FLAIR MRI.
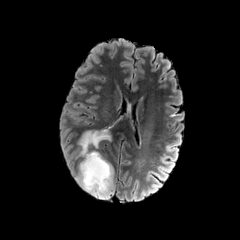
T1-weighted MR image.
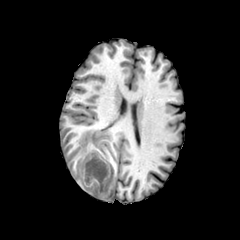
Post-contrast T1-weighted MR image.
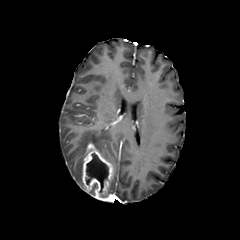
T2-weighted MRI.
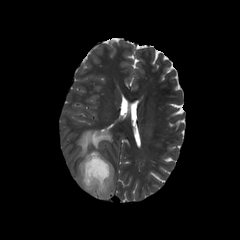
Image size 240x240. Head.
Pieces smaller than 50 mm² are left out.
enhancing tumor = (82,143,113,200)
necrotic tumor core = (85,153,108,192)
peritumoral edema = (110,176,114,193), (75,127,112,190)